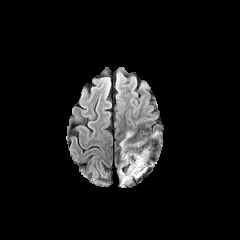
FLAIR MRI.
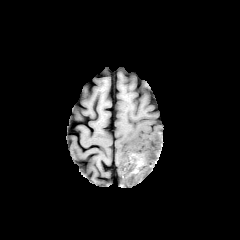
T1-weighted MR image of the same slice.
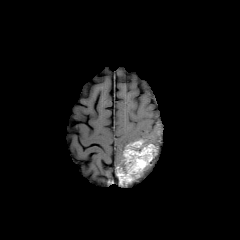
Same slice, post-contrast T1-weighted MR image.
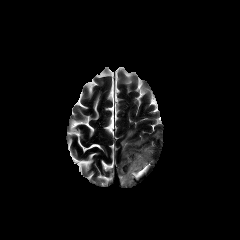
T2-weighted MRI.
Axial view. Head.
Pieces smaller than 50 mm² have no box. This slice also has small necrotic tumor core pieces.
The largest peritumoral edema region is at (120,131,133,160). The enhancing tumor is at (118,139,156,184).